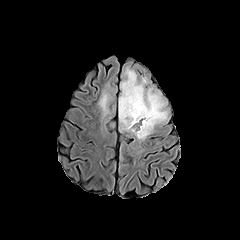
FLAIR MR.
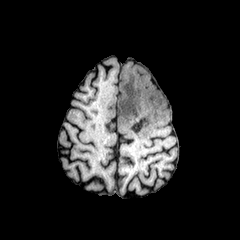
T1-weighted MR.
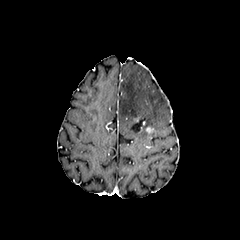
Post-contrast T1-weighted MR.
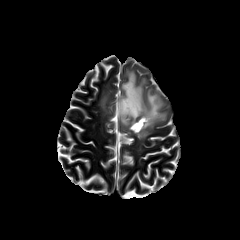
Same slice, T2-weighted MRI.
Head. Axial plane.
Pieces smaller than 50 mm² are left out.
{"peritumoral_edema": ["(left=119, top=67, right=167, bottom=132)", "(left=99, top=92, right=110, bottom=115)", "(left=134, top=132, right=147, bottom=139)"], "enhancing_tumor": ["(left=145, top=126, right=153, bottom=134)"], "necrotic_tumor_core": ["(left=132, top=117, right=147, bottom=132)", "(left=124, top=87, right=139, bottom=115)"]}